Axial slice | 240x240 | Head
FLAIR MR image.
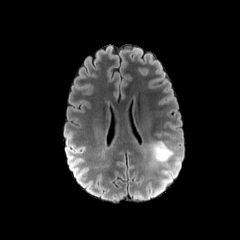
T1-weighted MR image.
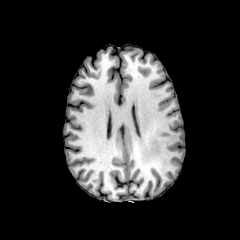
Post-contrast T1-weighted MR image.
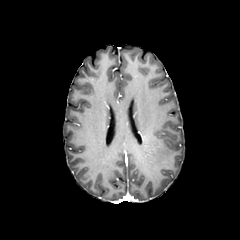
T2-weighted magnetic resonance.
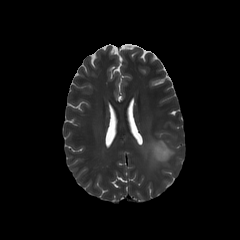
The peritumoral edema lies within (x1=150, y1=141, x2=173, y2=163).